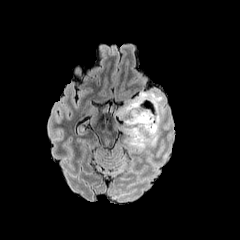
FLAIR magnetic resonance.
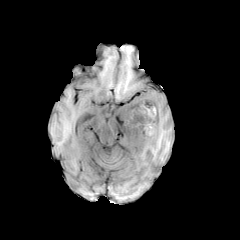
T1-weighted MR.
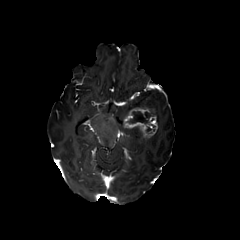
Same slice, post-contrast T1-weighted MR image.
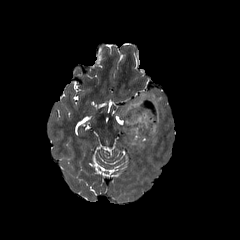
T2-weighted MR image.
Image size 240x240
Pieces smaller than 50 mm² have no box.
<segmentation>
  <necrotic_tumor_core>{"x1": 130, "y1": 111, "x2": 153, "y2": 123}</necrotic_tumor_core>
  <peritumoral_edema>{"x1": 118, "y1": 91, "x2": 163, "y2": 150}</peritumoral_edema>
  <enhancing_tumor>{"x1": 123, "y1": 107, "x2": 157, "y2": 139}</enhancing_tumor>
</segmentation>